Image width 240 mm; Slice 114 of 155
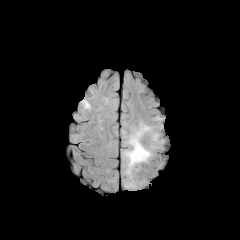
FLAIR MR.
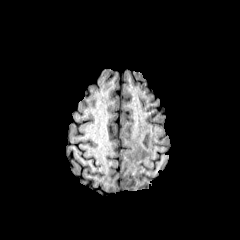
T1-weighted magnetic resonance of the same slice.
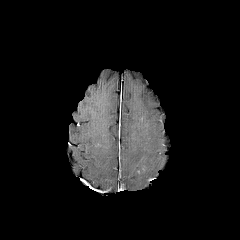
Post-contrast T1-weighted MR image.
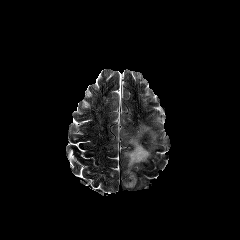
T2-weighted magnetic resonance of the same slice.
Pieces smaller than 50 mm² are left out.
peritumoral edema at box(125, 181, 134, 187); box(123, 124, 158, 178)